Slice index 64
FLAIR MRI.
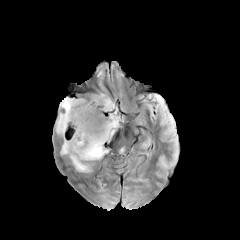
T1-weighted MR.
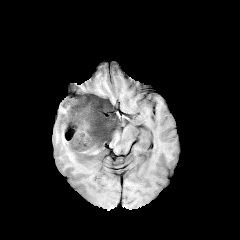
Post-contrast T1-weighted magnetic resonance.
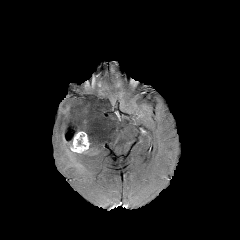
T2-weighted MR image.
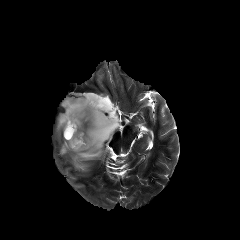
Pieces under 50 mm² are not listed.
The enhancing tumor is bounded by box(64, 123, 89, 153). The largest necrotic tumor core region is at box(65, 124, 77, 141). The peritumoral edema is located at box(55, 93, 120, 172).